FLAIR magnetic resonance.
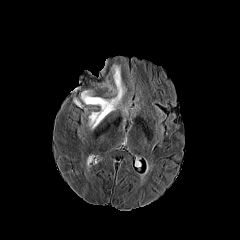
T1-weighted MR.
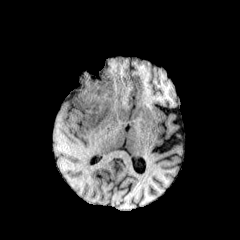
Post-contrast T1-weighted MR.
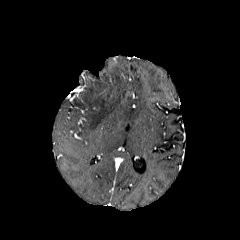
T2-weighted MR image.
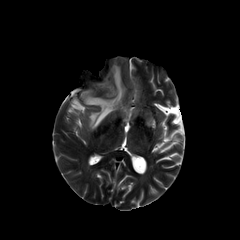
Axial view; Brain
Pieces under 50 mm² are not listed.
peritumoral edema = region(81, 65, 125, 129)